Head. Slice 78 of 155.
FLAIR MR image.
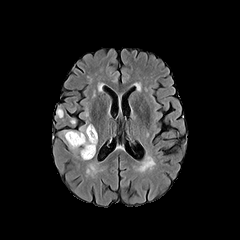
T1-weighted MR.
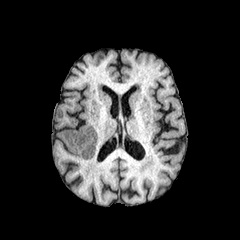
Post-contrast T1-weighted MR image.
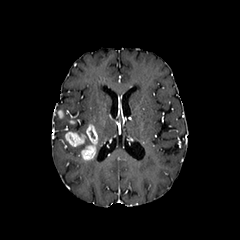
T2-weighted magnetic resonance.
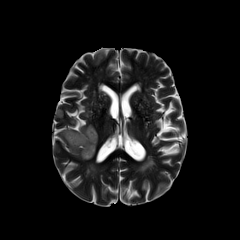
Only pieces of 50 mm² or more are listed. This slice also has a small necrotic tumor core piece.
enhancing tumor — left=81, top=124, right=97, bottom=160; left=65, top=131, right=86, bottom=146
peritumoral edema — left=72, top=126, right=91, bottom=148